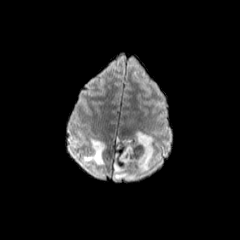
FLAIR magnetic resonance.
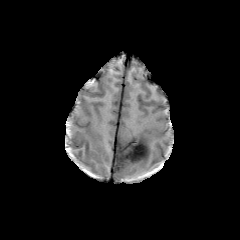
Same slice, T1-weighted MRI.
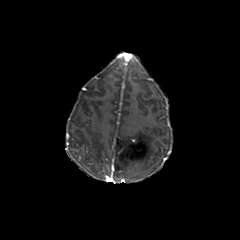
Post-contrast T1-weighted MR image of the same slice.
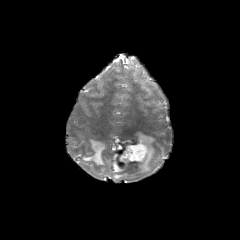
Same slice, T2-weighted MR image.
Axial slice. Image size 240x240. Brain.
<segmentation>
  <peritumoral_edema>(112,132,153,178), (81,138,105,166)</peritumoral_edema>
</segmentation>